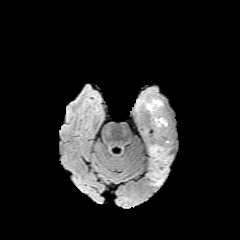
FLAIR MR.
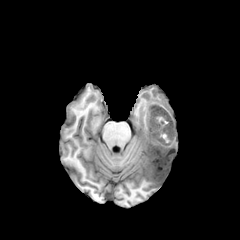
Same slice, T1-weighted MR.
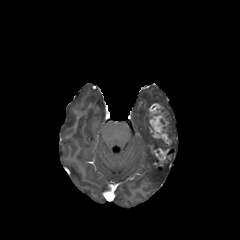
Same slice, post-contrast T1-weighted MRI.
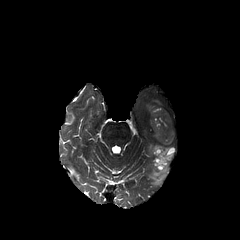
T2-weighted MR image of the same slice.
Brain.
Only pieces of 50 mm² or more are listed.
The 3 largest necrotic tumor core regions are located at (left=162, top=125, right=169, bottom=139), (left=152, top=138, right=169, bottom=153), (left=155, top=149, right=171, bottom=165). 2 peritumoral edema regions are located at (left=146, top=99, right=161, bottom=110), (left=150, top=162, right=168, bottom=185). The 2 largest enhancing tumor regions are located at (left=149, top=103, right=171, bottom=144), (left=149, top=142, right=169, bottom=161).